240x240; Brain; Axial view; Image covers 240 mm x 240 mm
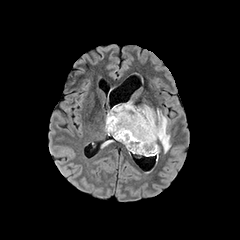
FLAIR MR.
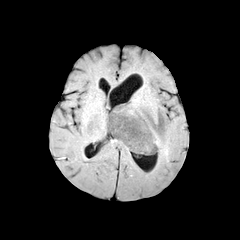
Same slice, T1-weighted MRI.
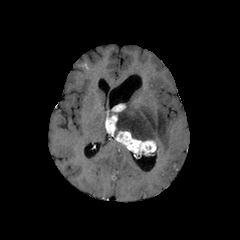
Post-contrast T1-weighted MR.
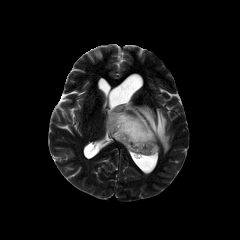
T2-weighted MR.
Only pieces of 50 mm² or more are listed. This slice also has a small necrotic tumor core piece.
enhancing tumor = rect(114, 130, 156, 155); rect(105, 104, 125, 136)
peritumoral edema = rect(114, 100, 170, 152)